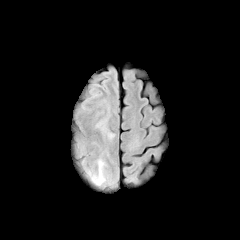
FLAIR MRI.
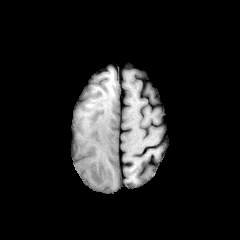
Same slice, T1-weighted MRI.
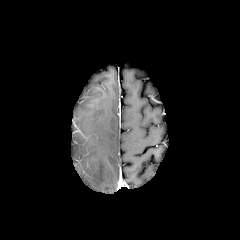
Same slice, post-contrast T1-weighted MRI.
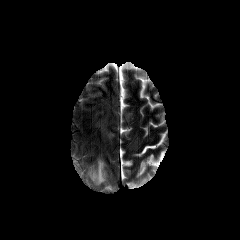
T2-weighted MR image.
Image size 240x240, Axial slice
The peritumoral edema lies within 88:159:105:184.